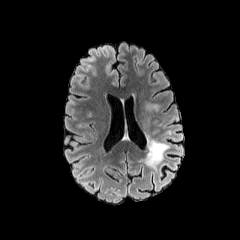
FLAIR MRI.
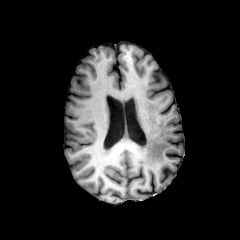
T1-weighted MR image.
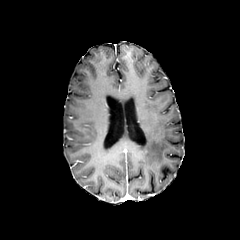
Same slice, post-contrast T1-weighted MR.
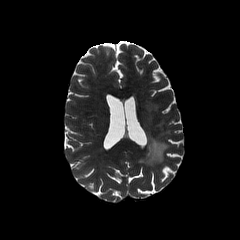
Same slice, T2-weighted magnetic resonance.
Axial view; Brain
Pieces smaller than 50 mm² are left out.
peritumoral edema: l=145, t=135, r=169, b=167